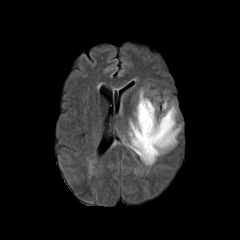
FLAIR MR.
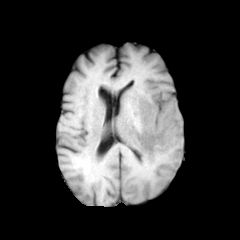
T1-weighted MR image of the same slice.
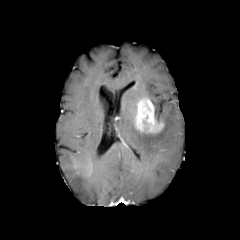
Post-contrast T1-weighted MR image.
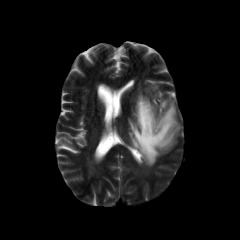
T2-weighted MR.
Axial plane
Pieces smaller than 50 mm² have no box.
enhancing tumor: bounding box 135 98 163 133
peritumoral edema: bounding box 127 99 180 166, 137 88 147 101